FLAIR MRI.
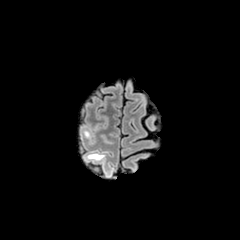
T1-weighted magnetic resonance.
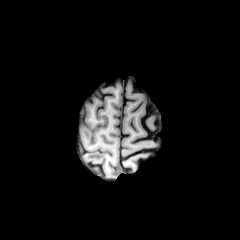
Post-contrast T1-weighted MR.
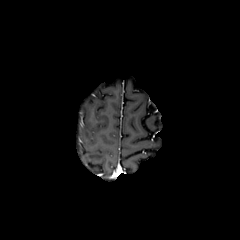
T2-weighted MR image.
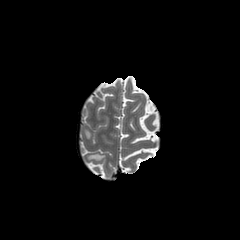
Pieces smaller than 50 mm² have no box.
Annotated regions:
• peritumoral edema: 87 154 104 160